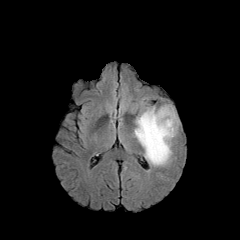
FLAIR MRI.
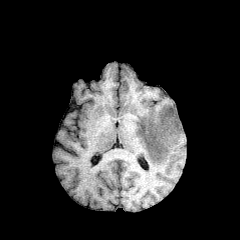
Same slice, T1-weighted MRI.
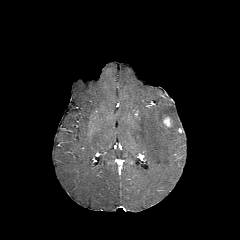
Post-contrast T1-weighted MR.
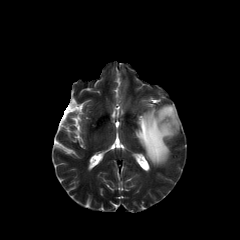
T2-weighted MR image of the same slice.
Axial slice, Brain
peritumoral edema: bbox=[134, 104, 179, 166]
enhancing tumor: bbox=[163, 116, 172, 127]